240x240 px | Slice 99/155 | Head | Axial plane
FLAIR MR image.
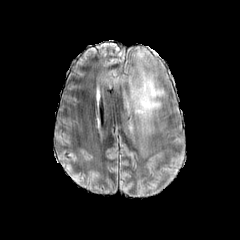
T1-weighted MR.
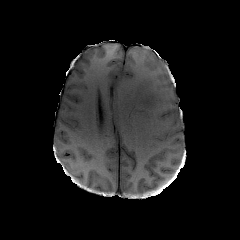
Post-contrast T1-weighted MRI.
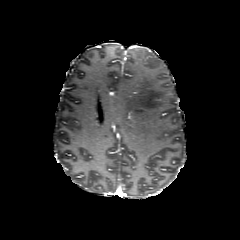
T2-weighted MR image.
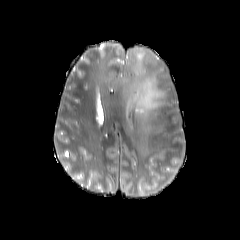
peritumoral_edema:
  - x1=117, y1=65, x2=165, y2=134